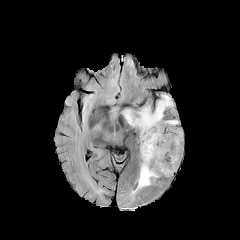
FLAIR magnetic resonance.
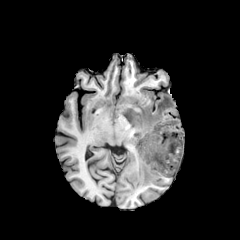
T1-weighted magnetic resonance.
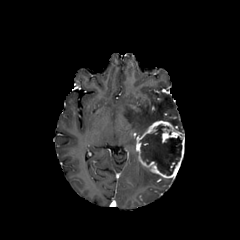
Post-contrast T1-weighted MR image.
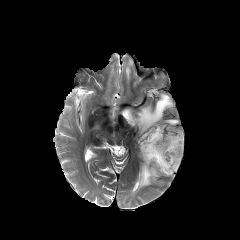
Same slice, T2-weighted MR image.
Head
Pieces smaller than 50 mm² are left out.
<segmentation>
  <enhancing_tumor>136 120 184 178</enhancing_tumor>
  <necrotic_tumor_core>140 125 181 175</necrotic_tumor_core>
  <peritumoral_edema>122 94 173 135, 136 165 159 189</peritumoral_edema>
</segmentation>